FLAIR MRI.
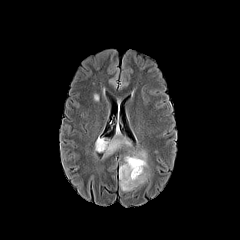
T1-weighted MR image.
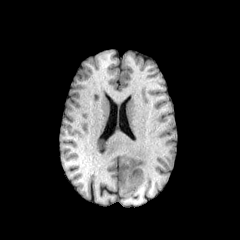
Post-contrast T1-weighted magnetic resonance.
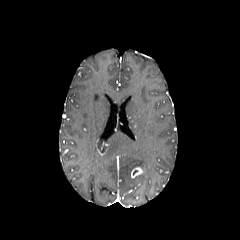
T2-weighted MRI.
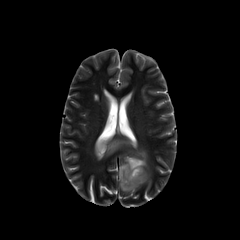
Brain
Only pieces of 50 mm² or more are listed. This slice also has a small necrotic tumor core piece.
Segmented structures:
* enhancing tumor: {"x1": 131, "y1": 167, "x2": 142, "y2": 178}
* peritumoral edema: {"x1": 95, "y1": 138, "x2": 130, "y2": 156}, {"x1": 119, "y1": 150, "x2": 149, "y2": 191}